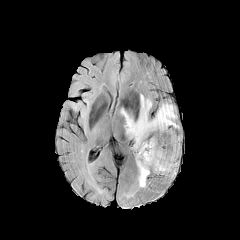
FLAIR magnetic resonance.
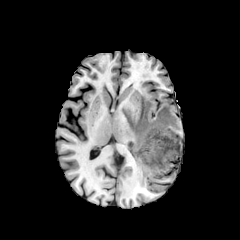
Same slice, T1-weighted MR image.
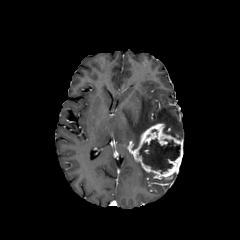
Post-contrast T1-weighted MRI.
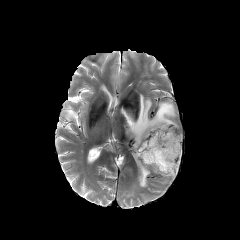
T2-weighted magnetic resonance of the same slice.
Axial slice. 240x240.
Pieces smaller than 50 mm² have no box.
enhancing tumor: bounding box x1=132 y1=123 x2=182 y2=179
peritumoral edema: bounding box x1=136 y1=162 x2=150 y2=187, x1=121 y1=94 x2=181 y2=149
necrotic tumor core: bounding box x1=139 y1=139 x2=180 y2=173